FLAIR MR.
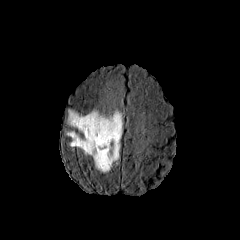
T1-weighted MR.
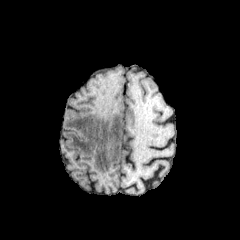
Post-contrast T1-weighted MR image.
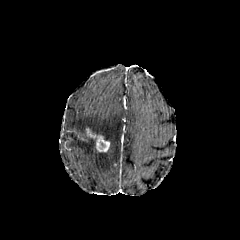
T2-weighted MR.
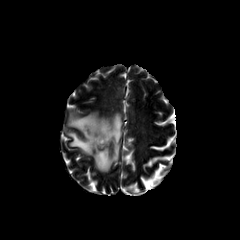
Image size 240x240 | Head | Axial slice
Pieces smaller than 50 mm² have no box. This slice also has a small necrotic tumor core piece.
The enhancing tumor appears at <box>86,128,109,152</box>. The peritumoral edema is located at <box>65,107,123,172</box>.